FLAIR MR.
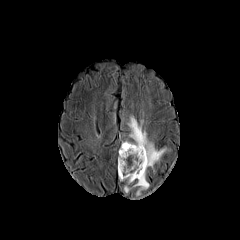
T1-weighted MR.
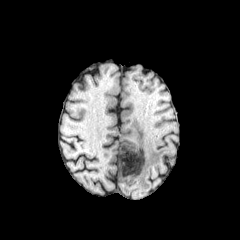
Post-contrast T1-weighted magnetic resonance.
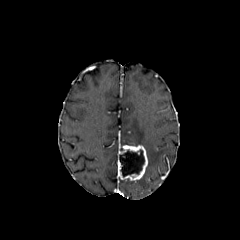
T2-weighted MRI.
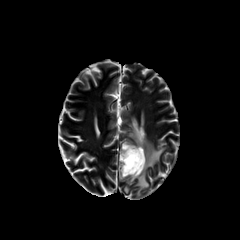
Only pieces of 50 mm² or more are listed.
necrotic tumor core: region(119, 150, 144, 176) | enhancing tumor: region(118, 145, 147, 180) | peritumoral edema: region(121, 116, 165, 196); region(124, 179, 133, 193)